FLAIR MR.
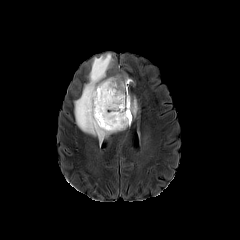
T1-weighted MR.
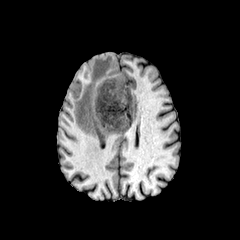
Post-contrast T1-weighted magnetic resonance.
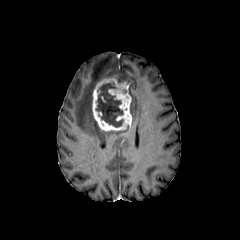
T2-weighted magnetic resonance.
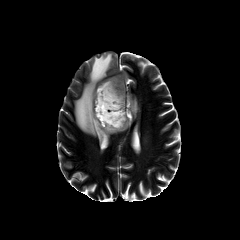
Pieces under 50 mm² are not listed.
peritumoral edema: (130, 98, 137, 116), (74, 53, 117, 144), (115, 76, 132, 83)
enhancing tumor: (92, 77, 131, 131)
necrotic tumor core: (96, 82, 123, 127)